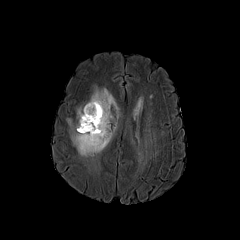
FLAIR magnetic resonance.
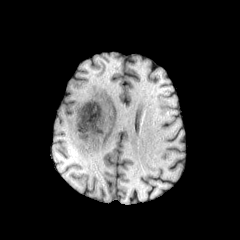
T1-weighted MR image.
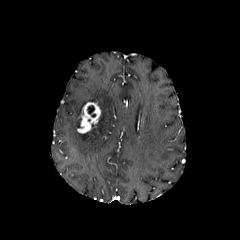
Same slice, post-contrast T1-weighted MR.
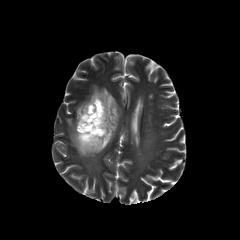
T2-weighted MR image of the same slice.
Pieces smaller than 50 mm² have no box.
necrotic_tumor_core:
  - [87, 105, 94, 114]
enhancing_tumor:
  - [77, 102, 101, 133]
peritumoral_edema:
  - [67, 86, 118, 156]